FLAIR magnetic resonance.
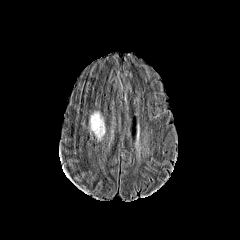
T1-weighted MR image.
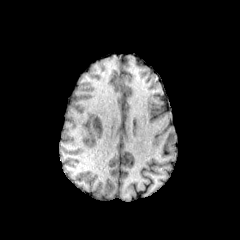
Post-contrast T1-weighted MR image.
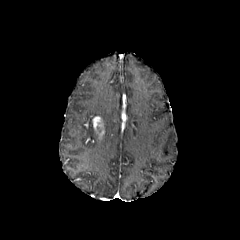
T2-weighted MR image.
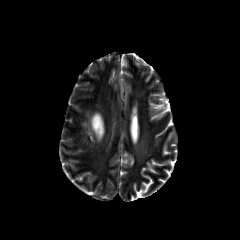
Axial slice, Brain
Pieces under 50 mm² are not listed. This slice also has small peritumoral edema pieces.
Findings:
- enhancing tumor: x1=92 y1=116 x2=104 y2=139